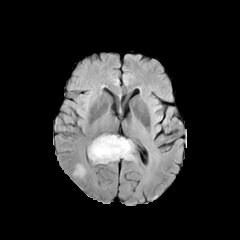
FLAIR MR.
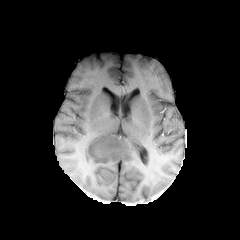
T1-weighted magnetic resonance of the same slice.
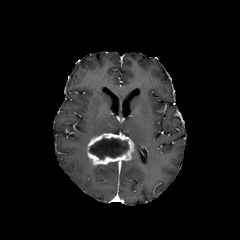
Same slice, post-contrast T1-weighted MRI.
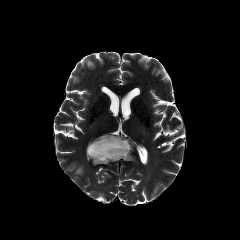
T2-weighted MR image.
Head. Axial plane. 240x240 px.
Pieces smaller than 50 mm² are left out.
• enhancing tumor: bbox(87, 133, 134, 165)
• necrotic tumor core: bbox(89, 138, 128, 159)
• peritumoral edema: bbox(74, 165, 84, 176)